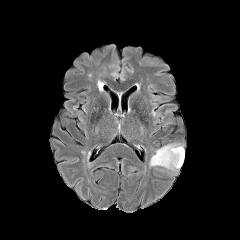
FLAIR MR.
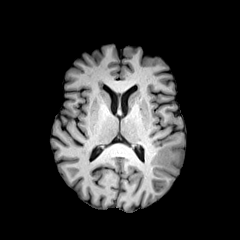
T1-weighted MR image.
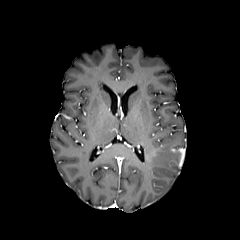
Post-contrast T1-weighted MR of the same slice.
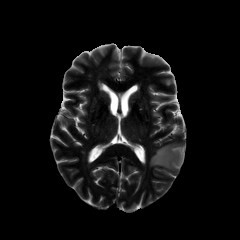
T2-weighted MRI.
Axial plane.
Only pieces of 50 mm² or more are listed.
enhancing tumor at region(171, 148, 184, 167)
peritumoral edema at region(149, 143, 183, 171)